Image size 240x240, Axial view
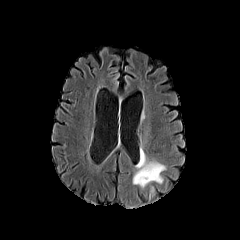
FLAIR MR.
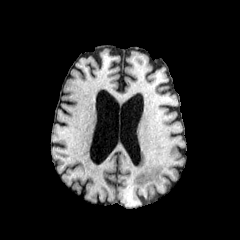
T1-weighted MR.
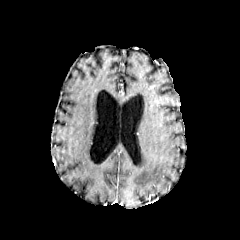
Same slice, post-contrast T1-weighted magnetic resonance.
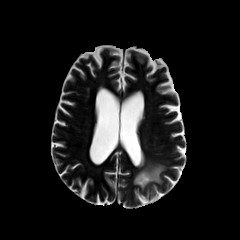
T2-weighted MR.
<segmentation>
  <peritumoral_edema>(left=133, top=149, right=165, bottom=187)</peritumoral_edema>
</segmentation>